FLAIR MR image.
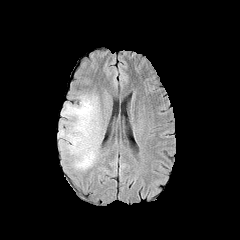
T1-weighted MR image.
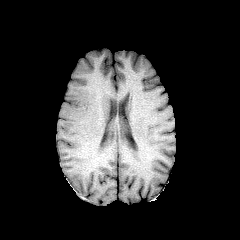
Post-contrast T1-weighted MR.
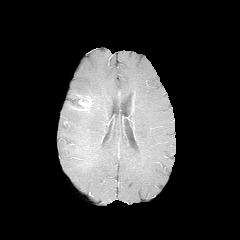
T2-weighted magnetic resonance.
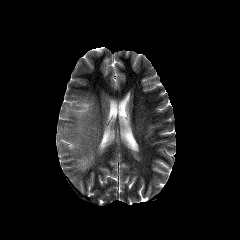
Brain
peritumoral edema: [77, 94, 89, 103], [58, 95, 100, 170]